Slice index 64; Head
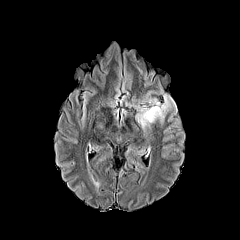
FLAIR magnetic resonance.
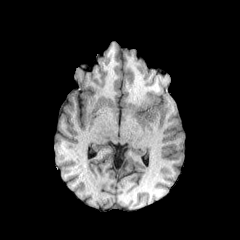
T1-weighted MR of the same slice.
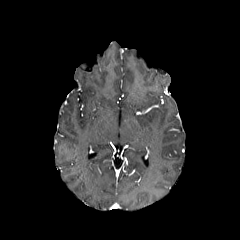
Post-contrast T1-weighted MR.
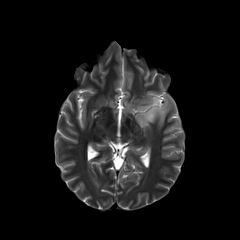
T2-weighted MRI.
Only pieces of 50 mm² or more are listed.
The 2 largest peritumoral edema regions appear at 136:96:170:130, 143:97:159:104.